240x240 px; Head; Image width 240 mm, 1.00 mm slice spacing; Axial slice; Slice 59 of 155
FLAIR MR image.
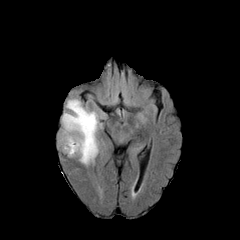
T1-weighted MR.
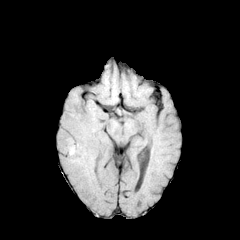
Post-contrast T1-weighted MRI.
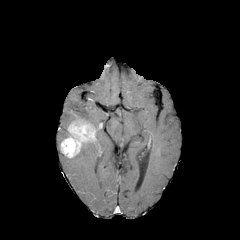
T2-weighted MR.
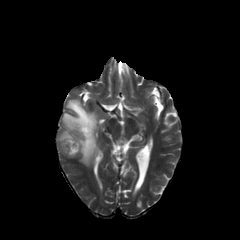
peritumoral_edema:
  - left=59, top=99, right=101, bottom=165
enhancing_tumor:
  - left=60, top=119, right=95, bottom=157